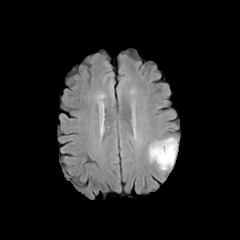
FLAIR MR image.
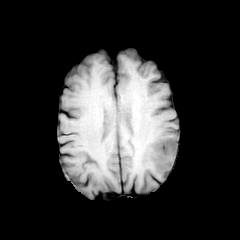
T1-weighted magnetic resonance.
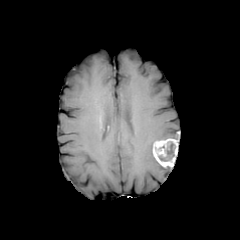
Post-contrast T1-weighted MR image of the same slice.
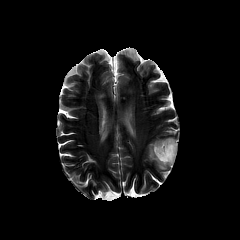
T2-weighted magnetic resonance.
240x240 px | Head | Axial view
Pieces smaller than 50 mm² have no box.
<segmentation>
  <necrotic_tumor_core>box=[159, 143, 174, 161]</necrotic_tumor_core>
  <peritumoral_edema>box=[148, 140, 169, 170]</peritumoral_edema>
  <enhancing_tumor>box=[152, 138, 178, 167]</enhancing_tumor>
</segmentation>